240x240; Axial slice
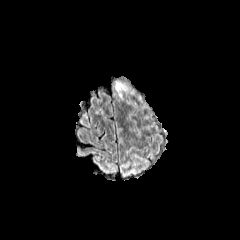
FLAIR MRI.
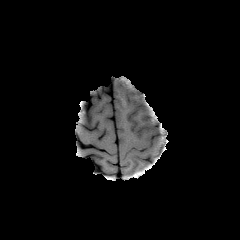
T1-weighted MRI.
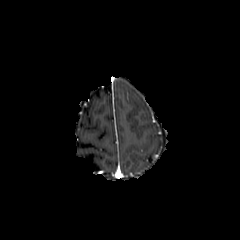
Post-contrast T1-weighted MR.
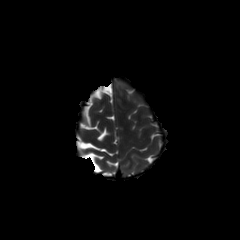
T2-weighted MR image.
peritumoral_edema:
  - 116 82 125 96